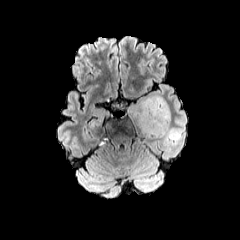
FLAIR magnetic resonance.
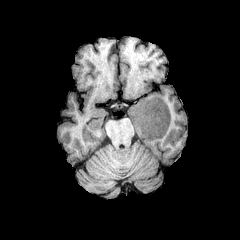
Same slice, T1-weighted magnetic resonance.
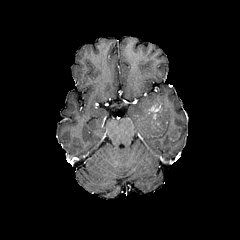
Post-contrast T1-weighted MR of the same slice.
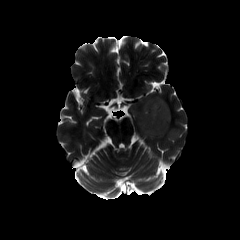
T2-weighted MR.
Axial slice
<segmentation>
  <peritumoral_edema>(left=131, top=94, right=170, bottom=139)</peritumoral_edema>
  <enhancing_tumor>(left=148, top=100, right=162, bottom=120)</enhancing_tumor>
</segmentation>